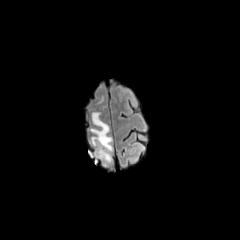
FLAIR magnetic resonance.
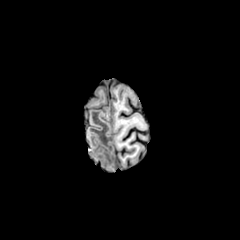
Same slice, T1-weighted MR image.
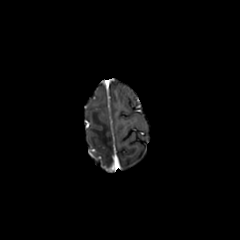
Same slice, post-contrast T1-weighted MR image.
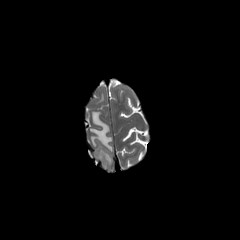
T2-weighted MRI.
Axial slice
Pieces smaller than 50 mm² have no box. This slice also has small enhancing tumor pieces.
<segmentation>
  <peritumoral_edema>x1=90, y1=111, x2=113, y2=166</peritumoral_edema>
</segmentation>